FLAIR MR.
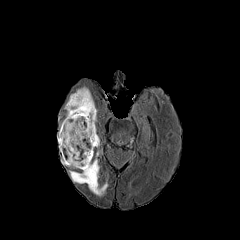
T1-weighted MR image.
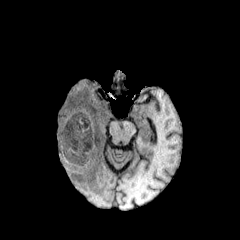
Post-contrast T1-weighted MR image.
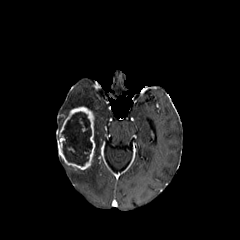
T2-weighted MRI.
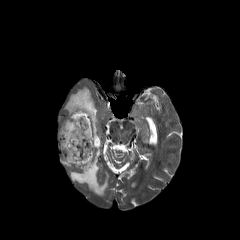
Axial view
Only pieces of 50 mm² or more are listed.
necrotic tumor core: 62 112 92 165 | enhancing tumor: 59 106 95 169 | peritumoral edema: 64 87 100 148, 69 151 107 195